FLAIR MR.
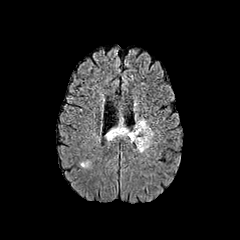
T1-weighted MRI.
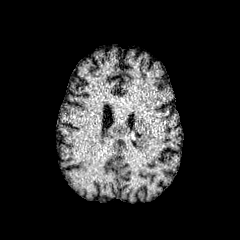
Post-contrast T1-weighted MR image.
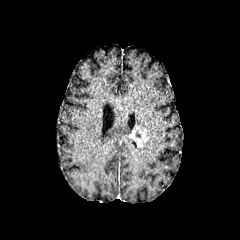
T2-weighted MR.
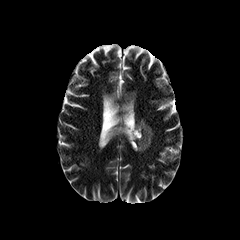
Axial view | Brain | 240x240
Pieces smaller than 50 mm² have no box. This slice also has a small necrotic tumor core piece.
peritumoral edema: bounding box 105,121,131,140; 135,119,153,152
enhancing tumor: bounding box 129,126,149,147